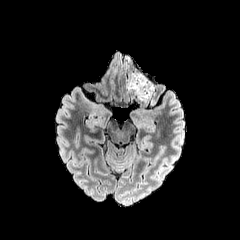
FLAIR MR.
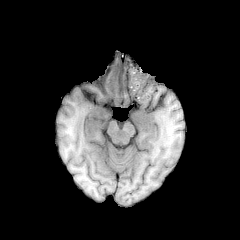
T1-weighted magnetic resonance.
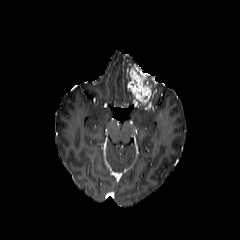
Post-contrast T1-weighted magnetic resonance.
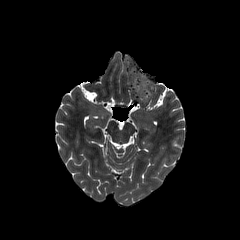
T2-weighted MR.
Brain, 240x240, Axial plane
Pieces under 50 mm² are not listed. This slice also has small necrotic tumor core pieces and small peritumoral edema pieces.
<segmentation>
  <enhancing_tumor>128,68,152,104</enhancing_tumor>
</segmentation>